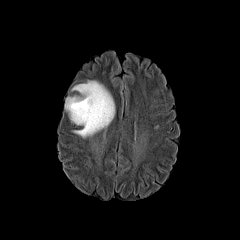
FLAIR MR image.
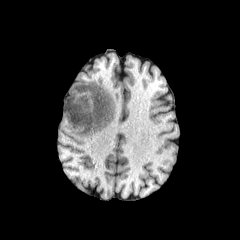
T1-weighted MRI of the same slice.
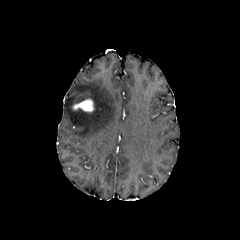
Post-contrast T1-weighted magnetic resonance.
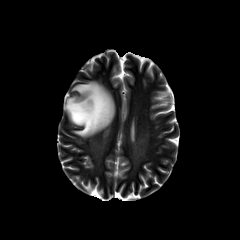
Same slice, T2-weighted magnetic resonance.
Axial view; Brain
enhancing tumor: 72:98:94:112
peritumoral edema: 65:80:115:138